Image width 240 mm, 1.00 mm slice spacing, Axial plane
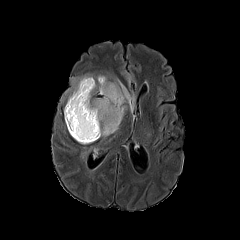
FLAIR MR.
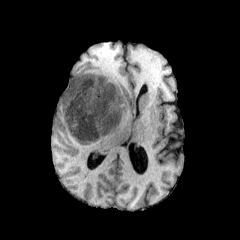
T1-weighted magnetic resonance.
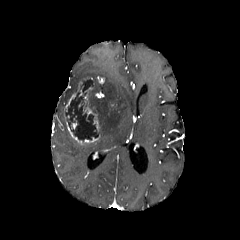
Post-contrast T1-weighted MRI of the same slice.
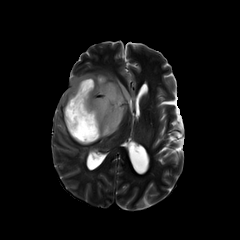
T2-weighted MRI of the same slice.
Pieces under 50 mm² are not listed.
The 2 largest enhancing tumor regions are located at bbox=[97, 76, 104, 84]; bbox=[64, 77, 100, 144]. The largest peritumoral edema region is at bbox=[65, 74, 134, 137]. The necrotic tumor core is located at bbox=[65, 79, 98, 140].